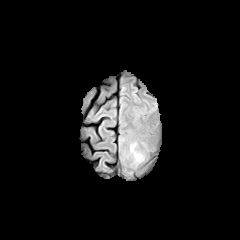
FLAIR MR.
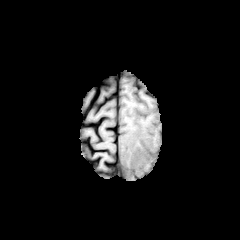
Same slice, T1-weighted MR image.
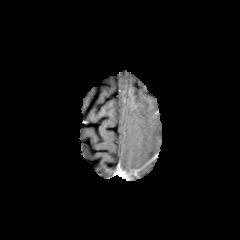
Same slice, post-contrast T1-weighted magnetic resonance.
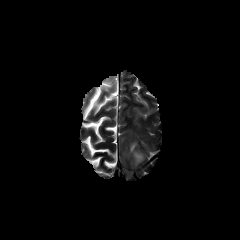
Same slice, T2-weighted MR.
Axial slice
peritumoral edema: bounding box x1=130 y1=143 x2=143 y2=162